FLAIR MRI.
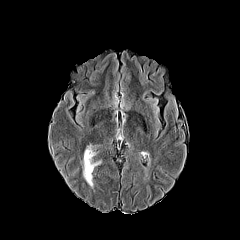
T1-weighted magnetic resonance.
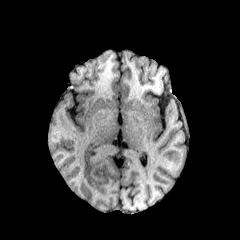
Post-contrast T1-weighted MRI.
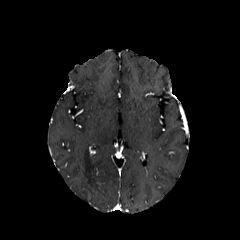
T2-weighted MR.
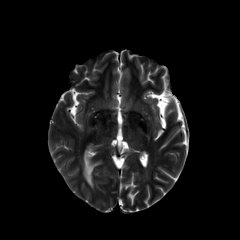
Head
<segmentation>
  <peritumoral_edema>x1=83 y1=149 x2=100 y2=186</peritumoral_edema>
</segmentation>